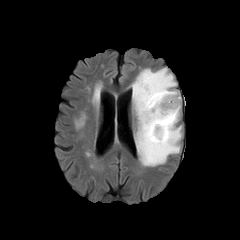
FLAIR MRI.
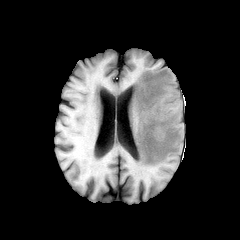
T1-weighted MR of the same slice.
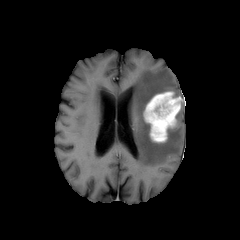
Same slice, post-contrast T1-weighted MR.
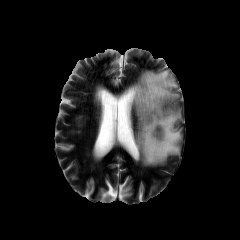
T2-weighted MR.
Brain
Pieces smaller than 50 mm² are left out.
peritumoral edema = x1=131, y1=67, x2=182, y2=166
enhancing tumor = x1=143, y1=91, x2=181, y2=142